Axial view
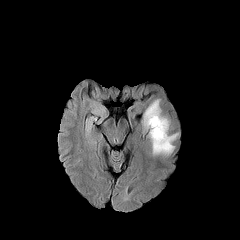
FLAIR MR.
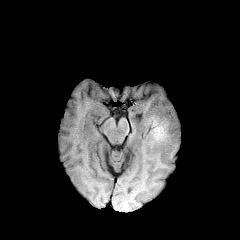
T1-weighted magnetic resonance.
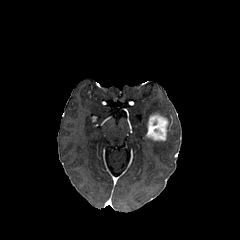
Post-contrast T1-weighted MR.
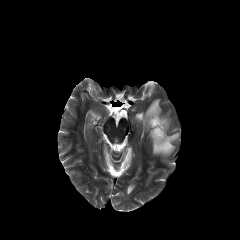
Same slice, T2-weighted MR image.
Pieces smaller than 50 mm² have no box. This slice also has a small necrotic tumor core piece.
peritumoral_edema:
  - l=142, t=99, r=161, b=131
  - l=150, t=132, r=178, b=156
enhancing_tumor:
  - l=146, t=112, r=168, b=141